FLAIR MR.
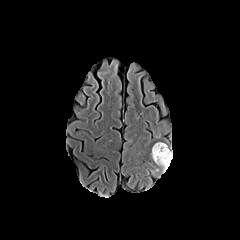
T1-weighted MRI.
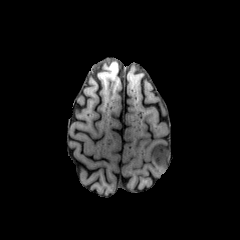
Post-contrast T1-weighted MRI.
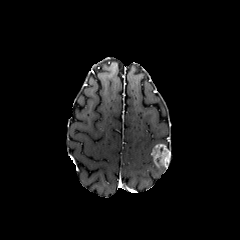
T2-weighted MRI.
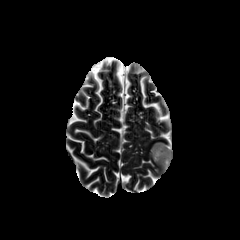
Axial slice
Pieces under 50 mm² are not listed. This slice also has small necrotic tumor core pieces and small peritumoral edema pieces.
{"enhancing_tumor": ["[151, 144, 170, 168]"]}